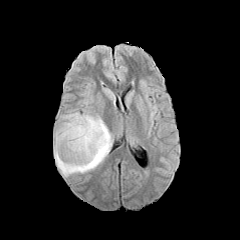
FLAIR MR.
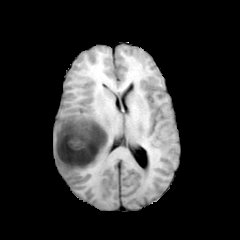
T1-weighted MR.
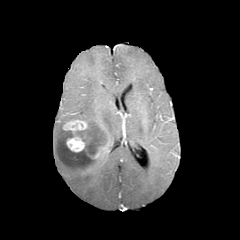
Post-contrast T1-weighted MR image of the same slice.
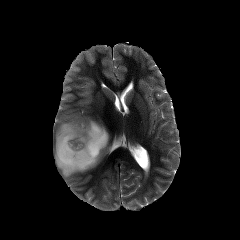
Same slice, T2-weighted magnetic resonance.
Image size 240x240. Brain.
The peritumoral edema is located at x1=53, y1=112, x2=112, y2=177. The necrotic tumor core appears at x1=76, y1=122, x2=106, y2=156. The enhancing tumor is at x1=63, y1=119, x2=109, y2=160.